Axial plane
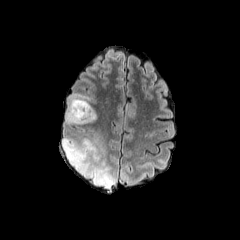
FLAIR MR.
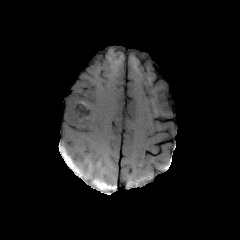
T1-weighted magnetic resonance.
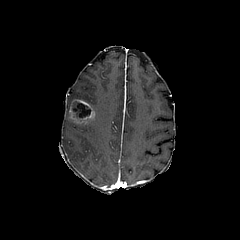
Post-contrast T1-weighted magnetic resonance.
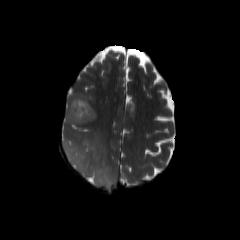
T2-weighted MRI.
The enhancing tumor is located at box=[69, 99, 95, 123]. The necrotic tumor core lies within box=[72, 102, 90, 118]. 2 peritumoral edema regions are located at box=[65, 94, 97, 125]; box=[62, 133, 116, 188].